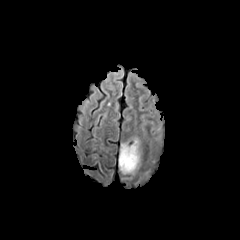
FLAIR MRI.
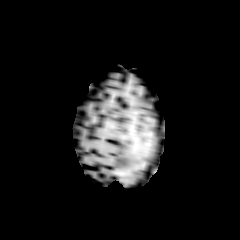
Same slice, T1-weighted MR.
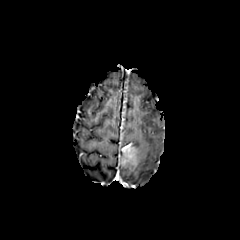
Post-contrast T1-weighted magnetic resonance.
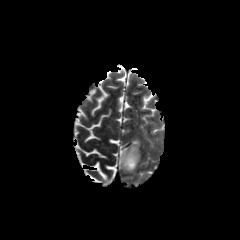
T2-weighted magnetic resonance.
Head
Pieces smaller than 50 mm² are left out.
The 2 largest peritumoral edema regions are located at [119, 165, 133, 173], [131, 140, 140, 171]. The enhancing tumor appears at [119, 144, 138, 171].